Slice index 97, Brain
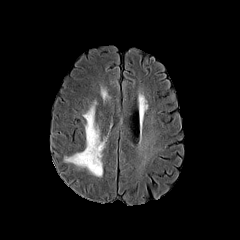
FLAIR MR.
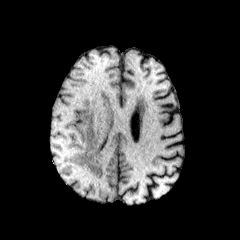
T1-weighted MRI.
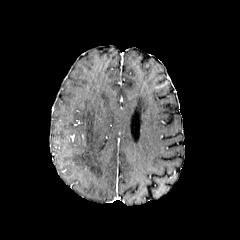
Same slice, post-contrast T1-weighted MRI.
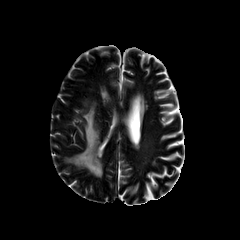
Same slice, T2-weighted MRI.
The peritumoral edema is at (left=65, top=105, right=104, bottom=176).